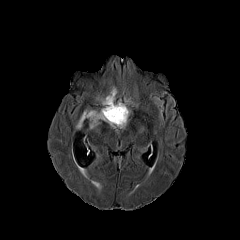
FLAIR MR image.
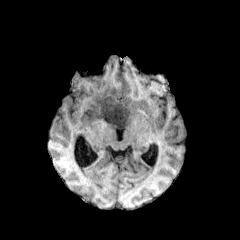
T1-weighted MR.
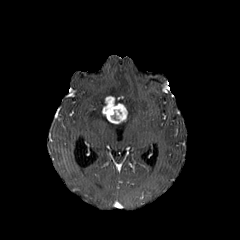
Post-contrast T1-weighted magnetic resonance of the same slice.
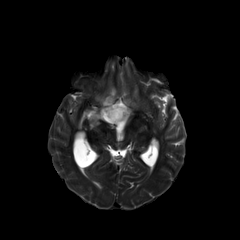
T2-weighted MRI.
Brain, Axial view, 240x240 px
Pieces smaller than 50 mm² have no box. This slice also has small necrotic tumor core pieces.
Annotated regions:
* peritumoral edema: (96,95,105,106), (108,86,117,100), (76,108,130,130)
* enhancing tumor: (102,96,127,124)